Brain, Image covers 240 mm x 240 mm
FLAIR MR image.
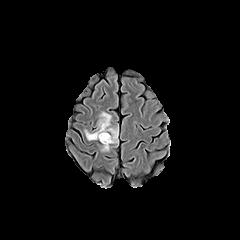
T1-weighted MR.
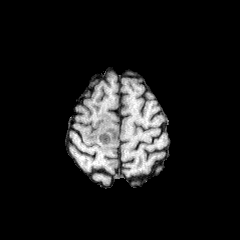
Post-contrast T1-weighted magnetic resonance.
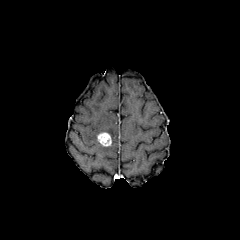
T2-weighted MRI.
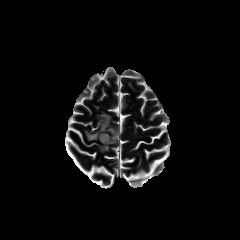
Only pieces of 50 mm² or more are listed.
Segmented structures:
• peritumoral edema: bbox(84, 112, 118, 143)
• enhancing tumor: bbox(97, 132, 111, 146)